Slice 74 of 155. Brain. Image size 240x240. Axial view.
FLAIR MR.
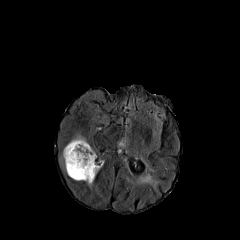
T1-weighted magnetic resonance.
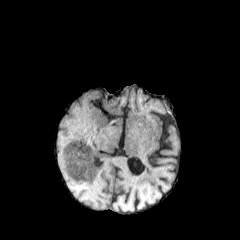
Post-contrast T1-weighted MRI.
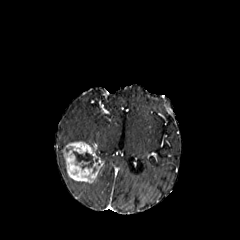
T2-weighted MR.
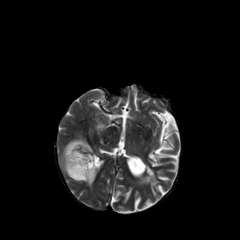
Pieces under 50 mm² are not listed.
Segmented structures:
- enhancing tumor: (63, 141, 103, 183)
- peritumoral edema: (69, 135, 86, 142), (60, 153, 66, 172)
- necrotic tumor core: (73, 151, 93, 168)